FLAIR magnetic resonance.
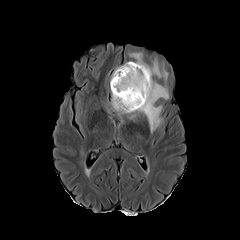
T1-weighted magnetic resonance.
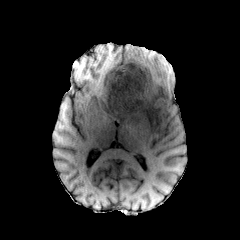
Post-contrast T1-weighted magnetic resonance.
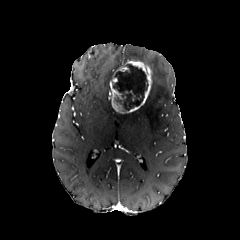
T2-weighted MR image.
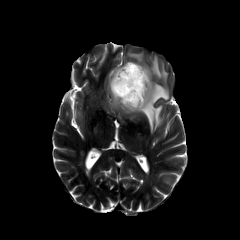
Image size 240x240, Axial slice, Head
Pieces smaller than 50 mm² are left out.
necrotic tumor core: bounding box (left=113, top=64, right=148, bottom=110)
enhancing tumor: bounding box (left=110, top=61, right=152, bottom=113)
peritumoral edema: bounding box (left=125, top=81, right=168, bottom=133), (left=150, top=59, right=167, bottom=79), (left=130, top=53, right=142, bottom=61)